Brain, Image size 240x240, Axial plane, Image width 240 mm
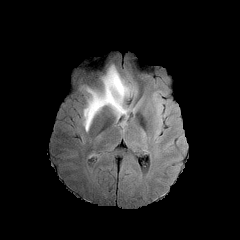
FLAIR MR.
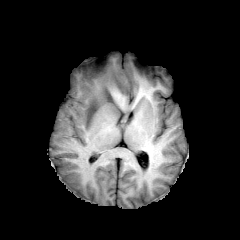
Same slice, T1-weighted MR.
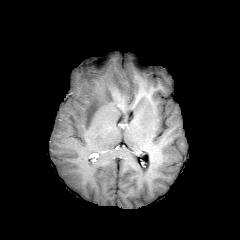
Post-contrast T1-weighted MR image.
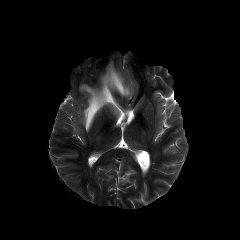
Same slice, T2-weighted MRI.
peritumoral edema = {"x1": 82, "y1": 65, "x2": 133, "y2": 131}